Axial plane; 240x240 px
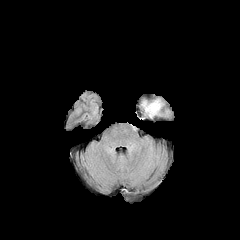
FLAIR magnetic resonance.
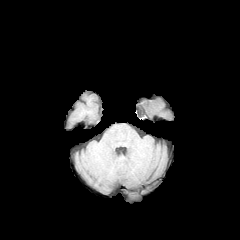
T1-weighted MR image.
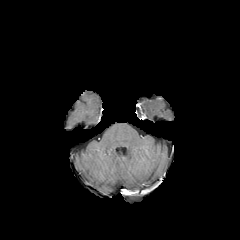
Post-contrast T1-weighted MR.
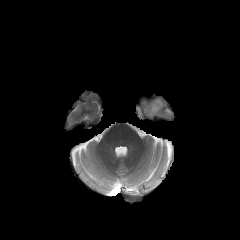
T2-weighted MRI of the same slice.
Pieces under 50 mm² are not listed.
Segmented structures:
• peritumoral edema: (x1=142, y1=99, x2=163, y2=117)